Slice 40/155; Head; Image width 240 mm, 1.00 mm slice spacing; Image size 240x240; Axial view
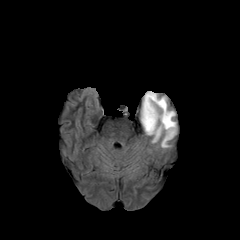
FLAIR magnetic resonance.
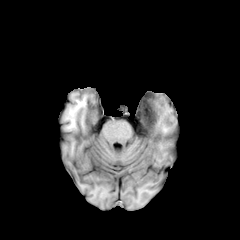
T1-weighted magnetic resonance of the same slice.
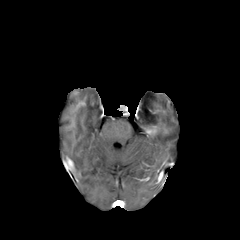
Post-contrast T1-weighted MR image.
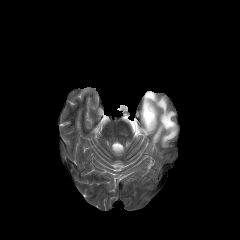
Same slice, T2-weighted MRI.
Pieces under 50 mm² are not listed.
enhancing tumor: 144 124 156 134
peritumoral edema: 141 91 176 147